240x240 px
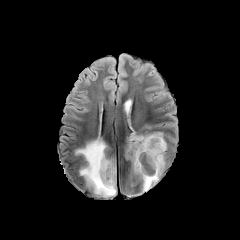
FLAIR MR image.
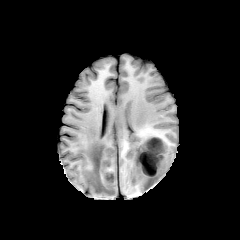
Same slice, T1-weighted MR.
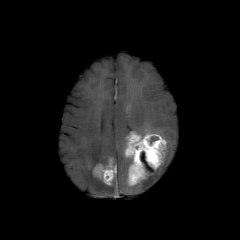
Same slice, post-contrast T1-weighted MRI.
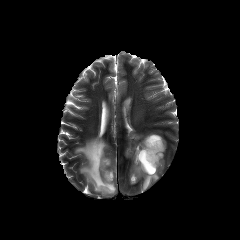
T2-weighted MR.
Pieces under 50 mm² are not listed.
<segmentation>
  <enhancing_tumor>box(93, 159, 116, 185); box(125, 132, 166, 184)</enhancing_tumor>
  <necrotic_tumor_core>box(140, 151, 155, 174)</necrotic_tumor_core>
  <peritumoral_edema>box(75, 137, 116, 197); box(142, 157, 165, 191)</peritumoral_edema>
</segmentation>